FLAIR MR.
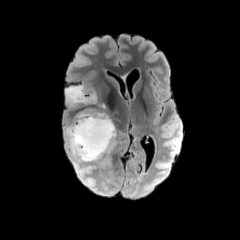
T1-weighted MRI.
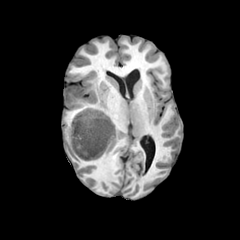
Post-contrast T1-weighted MRI.
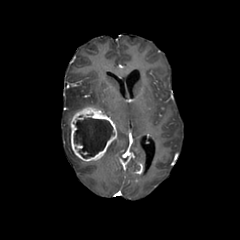
T2-weighted MR image.
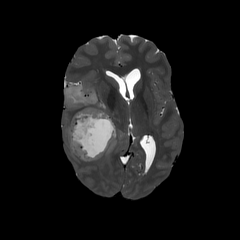
Head | Axial slice
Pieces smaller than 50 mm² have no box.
{
  "necrotic_tumor_core": [
    "74,118,114,157"
  ],
  "peritumoral_edema": [
    "66,127,74,154",
    "66,86,97,105"
  ],
  "enhancing_tumor": [
    "70,107,116,161"
  ]
}